Brain. Image size 240x240.
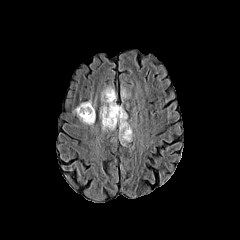
FLAIR magnetic resonance.
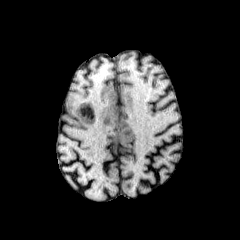
Same slice, T1-weighted MRI.
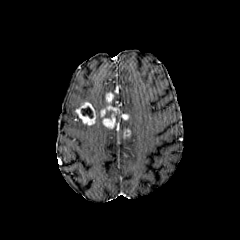
Post-contrast T1-weighted magnetic resonance.
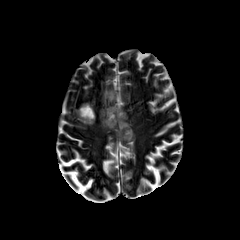
Same slice, T2-weighted MRI.
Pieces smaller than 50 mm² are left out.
* necrotic tumor core: [x1=81, y1=106, x2=93, y2=118]
* enhancing tumor: [x1=99, y1=92, x2=128, y2=128], [x1=124, y1=129, x2=130, y2=136], [x1=75, y1=102, x2=96, y2=125]
* peritumoral edema: [x1=101, y1=86, x2=116, y2=109], [x1=121, y1=89, x2=128, y2=99], [x1=119, y1=120, x2=132, y2=143]